Axial plane; Slice 101/155
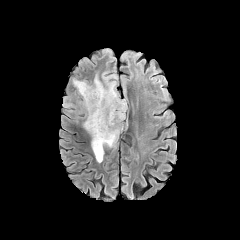
FLAIR magnetic resonance.
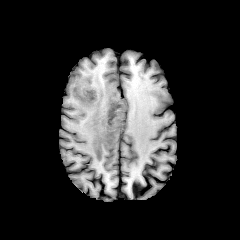
T1-weighted MR.
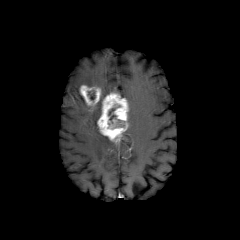
Post-contrast T1-weighted MR.
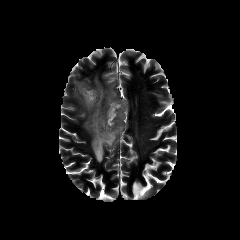
T2-weighted MRI.
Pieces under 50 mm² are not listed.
The 2 largest peritumoral edema regions are bounded by 73,80,86,91; 84,77,116,162. The largest necrotic tumor core region is located at 107,104,124,129. 2 enhancing tumor regions are bounded by 79,85,101,111; 97,91,128,143.